Slice 112/155, Image covers 240 mm x 240 mm, 240x240 px, Axial view
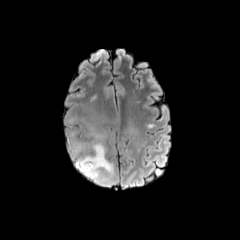
FLAIR magnetic resonance.
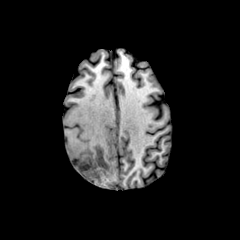
T1-weighted MR.
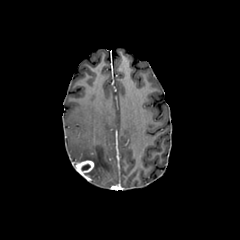
Post-contrast T1-weighted MR.
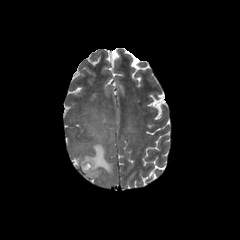
T2-weighted magnetic resonance.
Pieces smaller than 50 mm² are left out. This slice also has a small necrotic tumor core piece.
enhancing tumor: [77, 160, 94, 175] | peritumoral edema: [73, 127, 114, 184]